Slice index 96, Brain, Image size 240x240
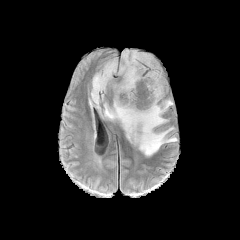
FLAIR MR.
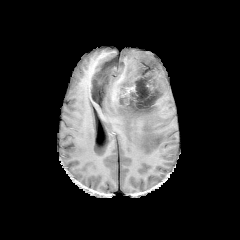
T1-weighted MRI.
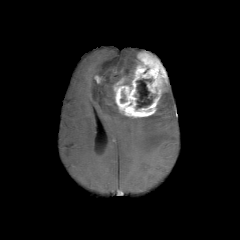
Same slice, post-contrast T1-weighted MR.
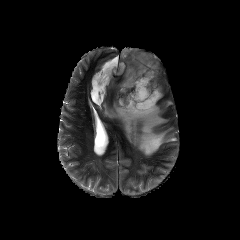
T2-weighted MRI.
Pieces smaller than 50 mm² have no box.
necrotic tumor core at left=136, top=79, right=154, bottom=108
enhancing tumor at left=94, top=75, right=103, bottom=83; left=113, top=52, right=167, bottom=117
peritumoral edema at left=91, top=50, right=139, bottom=111; left=102, top=99, right=177, bottom=156